Brain; Axial view; 240x240; Image width 240 mm
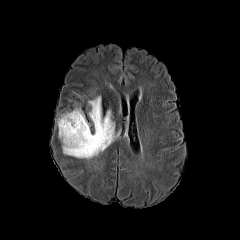
FLAIR MR image.
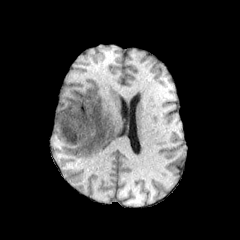
T1-weighted MR image.
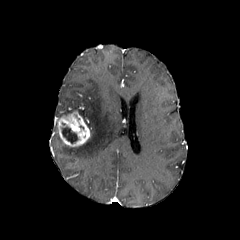
Post-contrast T1-weighted MR image.
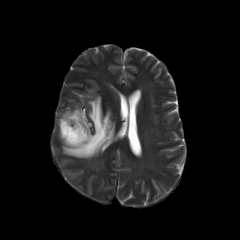
T2-weighted MRI.
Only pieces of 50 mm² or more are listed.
peritumoral edema — (75,108,89,128), (62,96,117,159)
necrotic tumor core — (62,127,77,143)
enhancing tumor — (56,109,90,146)